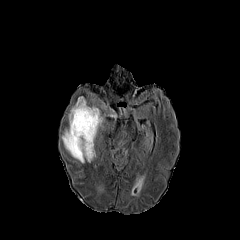
FLAIR magnetic resonance.
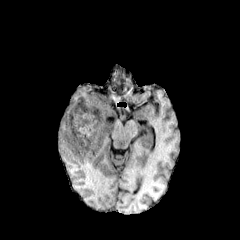
T1-weighted MR image.
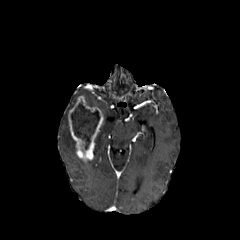
Post-contrast T1-weighted magnetic resonance of the same slice.
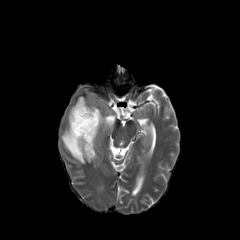
T2-weighted MR of the same slice.
240x240 px.
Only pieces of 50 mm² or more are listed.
<segmentation>
  <necrotic_tumor_core><box>71,102,100,149</box></necrotic_tumor_core>
  <peritumoral_edema><box>61,127,84,163</box></peritumoral_edema>
  <enhancing_tumor><box>68,96,103,162</box></enhancing_tumor>
</segmentation>